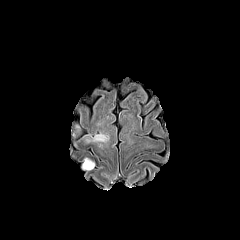
FLAIR MR.
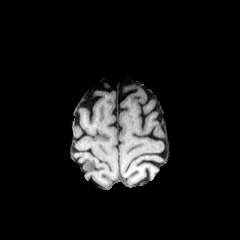
T1-weighted MRI.
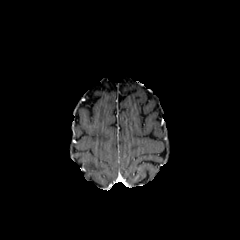
Post-contrast T1-weighted MR image.
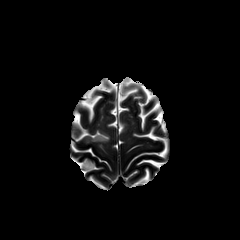
Same slice, T2-weighted MRI.
Image size 240x240.
peritumoral edema: [x1=83, y1=158, x2=94, y2=170], [x1=92, y1=133, x2=108, y2=141]